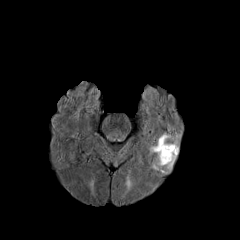
FLAIR magnetic resonance.
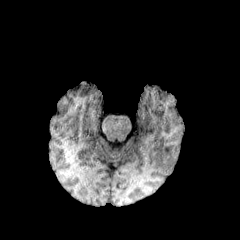
Same slice, T1-weighted MR image.
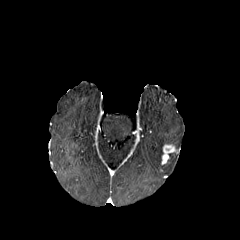
Same slice, post-contrast T1-weighted magnetic resonance.
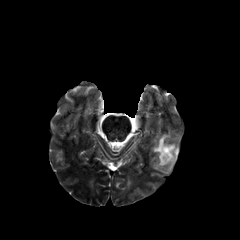
T2-weighted magnetic resonance.
Brain
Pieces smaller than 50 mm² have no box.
The enhancing tumor lies within x1=161 y1=143 x2=179 y2=164. The largest peritumoral edema region is at x1=150 y1=133 x2=176 y2=173.